Image covers 240 mm x 240 mm. Head. 240x240. Axial plane.
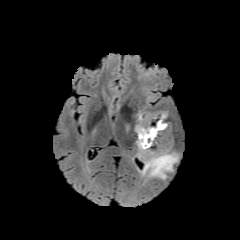
FLAIR magnetic resonance.
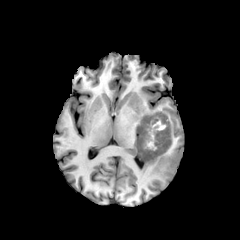
T1-weighted magnetic resonance of the same slice.
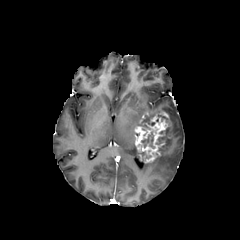
Post-contrast T1-weighted magnetic resonance.
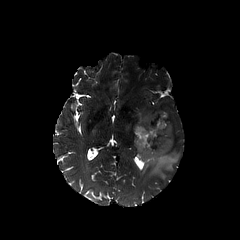
Same slice, T2-weighted magnetic resonance.
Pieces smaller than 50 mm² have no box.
Findings:
* enhancing tumor: left=135, top=113, right=169, bottom=162
* peritumoral edema: left=135, top=111, right=142, bottom=127; left=140, top=139, right=179, bottom=179
* necrotic tumor core: left=156, top=114, right=167, bottom=122; left=156, top=127, right=168, bottom=144; left=141, top=131, right=154, bottom=148